FLAIR MRI.
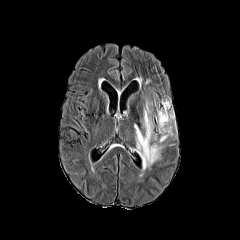
T1-weighted MR.
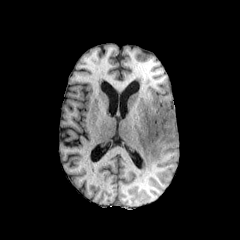
Post-contrast T1-weighted magnetic resonance.
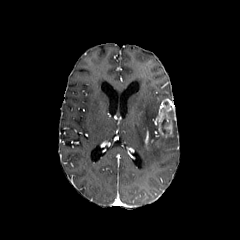
T2-weighted magnetic resonance.
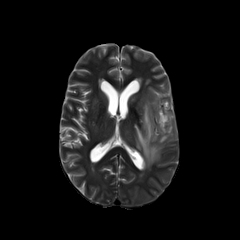
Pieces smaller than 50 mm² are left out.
The largest enhancing tumor region is located at rect(153, 99, 173, 137). The largest necrotic tumor core region is bounded by rect(161, 118, 168, 133). The largest peritumoral edema region is at rect(134, 99, 167, 168).